240x240 px, Slice index 48, Axial slice, Image covers 240 mm x 240 mm, Head
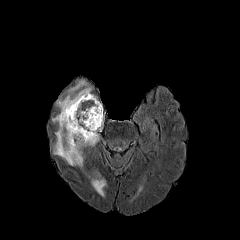
FLAIR MRI.
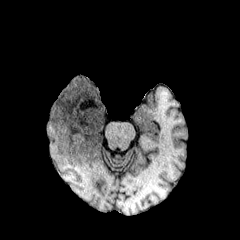
T1-weighted MR image.
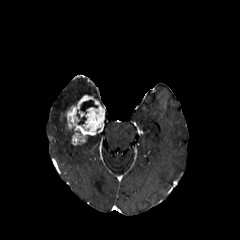
Same slice, post-contrast T1-weighted MR.
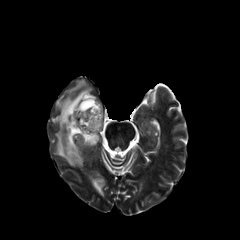
T2-weighted MRI.
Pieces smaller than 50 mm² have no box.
enhancing tumor: 62:95:105:145 | peritumoral edema: 52:79:99:167, 89:172:105:196 | necrotic tumor core: 80:100:97:111